FLAIR MR.
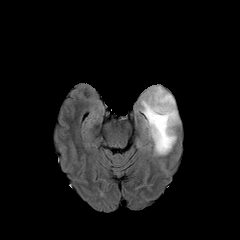
T1-weighted MR image.
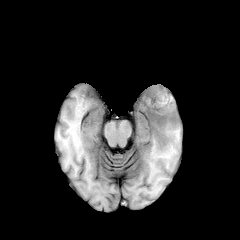
Post-contrast T1-weighted MRI.
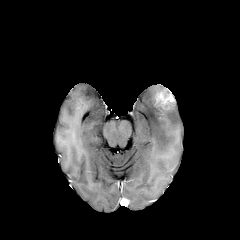
T2-weighted MR image.
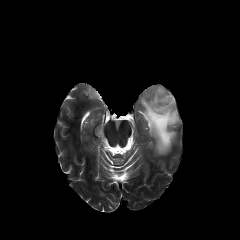
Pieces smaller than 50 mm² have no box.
enhancing_tumor:
  - bbox(154, 89, 174, 110)
peritumoral_edema:
  - bbox(140, 85, 180, 155)